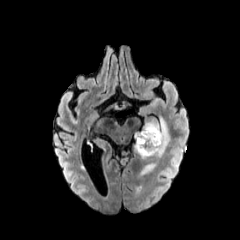
FLAIR MR.
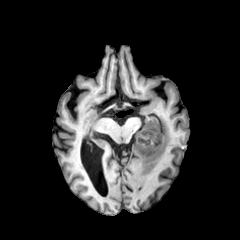
T1-weighted MR image.
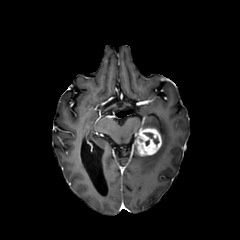
Post-contrast T1-weighted MRI.
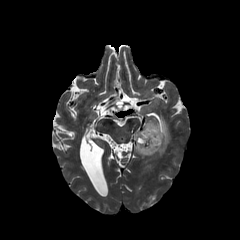
T2-weighted magnetic resonance of the same slice.
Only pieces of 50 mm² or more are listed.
The largest necrotic tumor core region lies within x1=144 y1=132 x2=158 y2=144. The enhancing tumor lies within x1=135 y1=127 x2=161 y2=155. The 2 largest peritumoral edema regions appear at x1=140 y1=117 x2=170 y2=159, x1=142 y1=162 x2=155 y2=172.